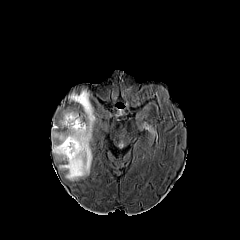
FLAIR MRI.
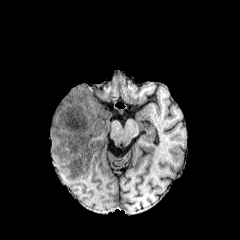
T1-weighted MR.
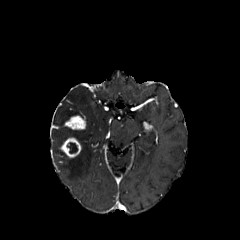
Post-contrast T1-weighted MR image.
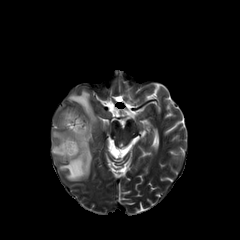
Same slice, T2-weighted MR.
Brain; Axial view
• peritumoral edema: box(52, 90, 95, 180); box(62, 111, 73, 123)
• necrotic tumor core: box(66, 142, 77, 153)
• enhancing tumor: box(64, 115, 85, 129); box(58, 137, 81, 158)